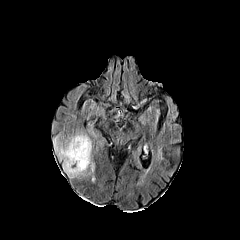
FLAIR MR.
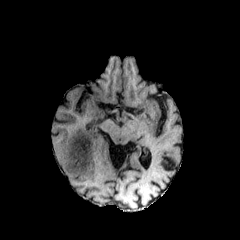
T1-weighted MR image.
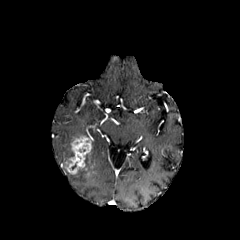
Same slice, post-contrast T1-weighted magnetic resonance.
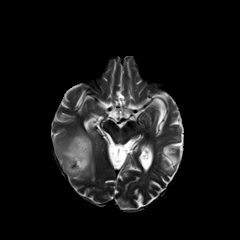
Same slice, T2-weighted MR image.
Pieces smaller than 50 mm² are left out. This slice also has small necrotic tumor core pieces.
peritumoral edema: (54, 132, 94, 178)
enhancing tumor: (68, 136, 90, 173)